240x240 px. Axial slice. Slice index 81. Head.
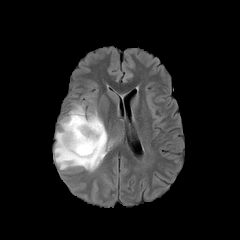
FLAIR MR.
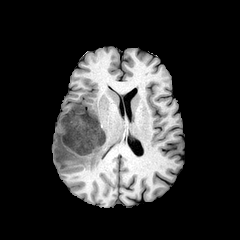
Same slice, T1-weighted magnetic resonance.
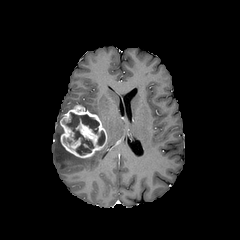
Post-contrast T1-weighted MR.
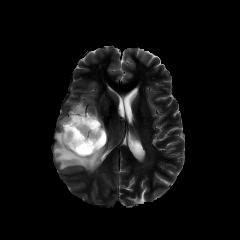
T2-weighted magnetic resonance.
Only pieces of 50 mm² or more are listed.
<segmentation>
  <peritumoral_edema>54, 127, 111, 171</peritumoral_edema>
  <necrotic_tumor_core>97, 131, 105, 145; 66, 113, 99, 154</necrotic_tumor_core>
  <enhancing_tumor>60, 105, 107, 158</enhancing_tumor>
</segmentation>